Slice 77/155. Head.
FLAIR MR.
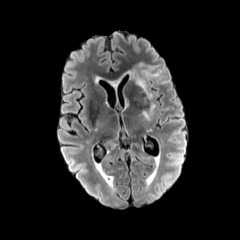
T1-weighted magnetic resonance.
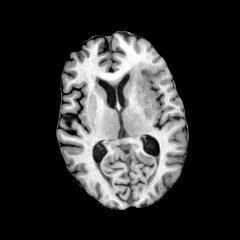
Post-contrast T1-weighted magnetic resonance.
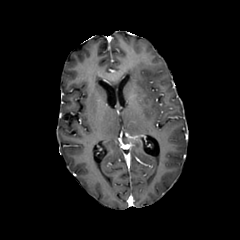
T2-weighted MR image.
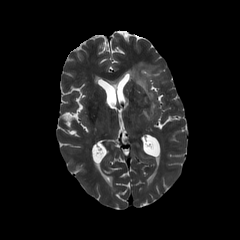
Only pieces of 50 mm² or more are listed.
Findings:
* peritumoral edema: x1=126, y1=65, x2=161, y2=99; x1=143, y1=103, x2=155, y2=119